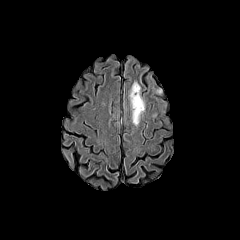
FLAIR MR.
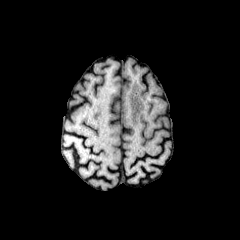
T1-weighted MRI of the same slice.
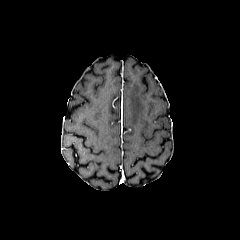
Post-contrast T1-weighted MRI.
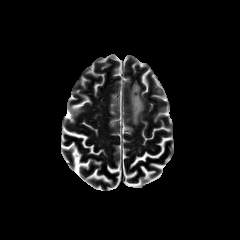
T2-weighted MR of the same slice.
240x240; Head
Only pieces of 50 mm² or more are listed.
Findings:
- peritumoral edema: x1=129, y1=82, x2=144, y2=125